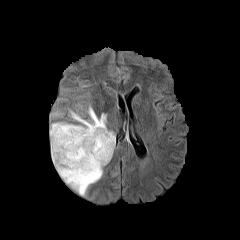
FLAIR MRI.
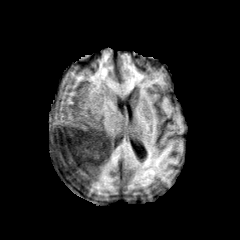
Same slice, T1-weighted magnetic resonance.
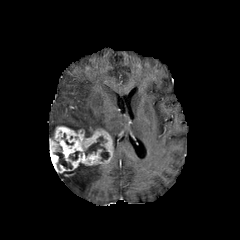
Same slice, post-contrast T1-weighted magnetic resonance.
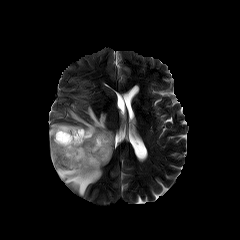
T2-weighted magnetic resonance.
Axial plane. 240x240 px.
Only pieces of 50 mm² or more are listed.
Segmented structures:
• necrotic tumor core: bbox=[69, 151, 79, 160]; bbox=[55, 152, 72, 168]; bbox=[85, 136, 109, 160]
• peritumoral edema: bbox=[49, 106, 115, 148]; bbox=[58, 163, 104, 195]
• enhancing tumor: bbox=[49, 126, 113, 173]